Slice 91/155
FLAIR magnetic resonance.
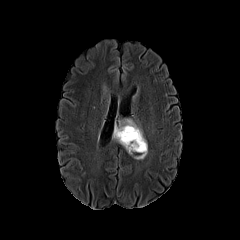
T1-weighted MR image.
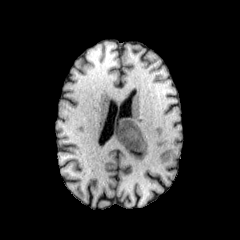
Post-contrast T1-weighted MR image.
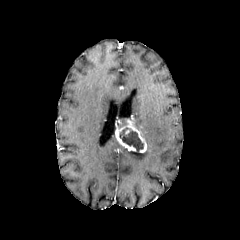
T2-weighted magnetic resonance.
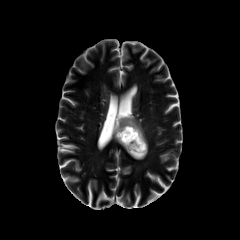
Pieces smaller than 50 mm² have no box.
enhancing tumor at box(115, 119, 147, 152)
necrotic tumor core at box(120, 128, 143, 152)
peritumoral edema at box(135, 149, 147, 159)